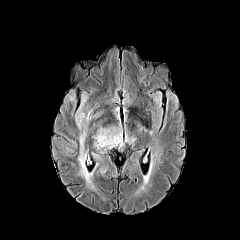
FLAIR MRI.
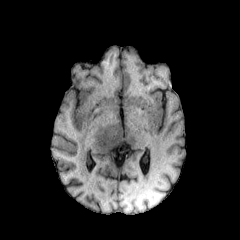
Same slice, T1-weighted magnetic resonance.
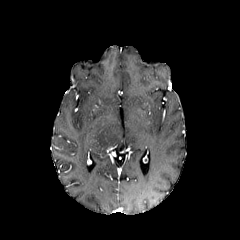
Post-contrast T1-weighted MR.
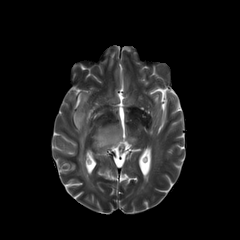
Same slice, T2-weighted MR.
Head, Axial plane
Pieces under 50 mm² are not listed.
peritumoral edema: bounding box left=75, top=112, right=93, bottom=187; left=125, top=132, right=135, bottom=143; left=92, top=119, right=123, bottom=153